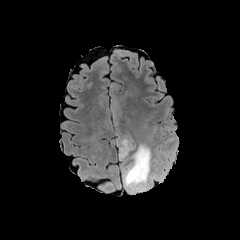
FLAIR magnetic resonance.
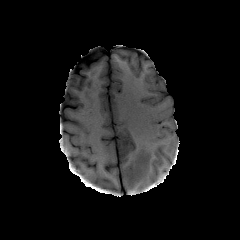
T1-weighted magnetic resonance.
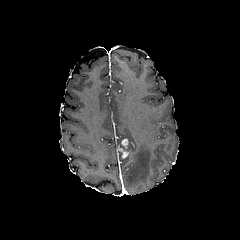
Same slice, post-contrast T1-weighted MRI.
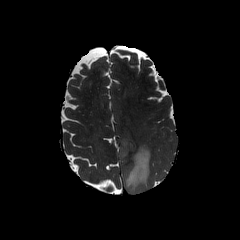
T2-weighted magnetic resonance.
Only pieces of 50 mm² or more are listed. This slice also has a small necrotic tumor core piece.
Segmented structures:
• enhancing tumor: <bbox>119, 138, 130, 158</bbox>
• peritumoral edema: <bbox>129, 140, 134, 150</bbox>, <bbox>119, 143, 161, 193</bbox>